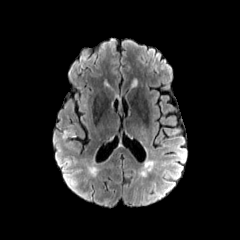
FLAIR MR image.
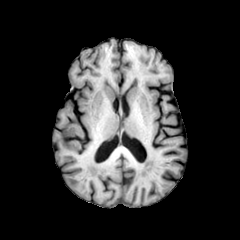
Same slice, T1-weighted MRI.
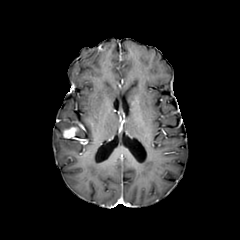
Same slice, post-contrast T1-weighted MRI.
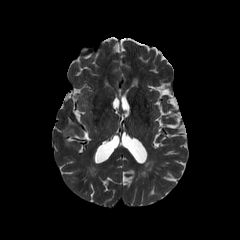
T2-weighted MR image.
Brain. Axial view.
enhancing_tumor:
  - {"x1": 63, "y1": 127, "x2": 77, "y2": 138}